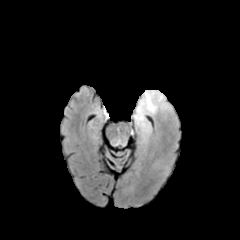
FLAIR MRI.
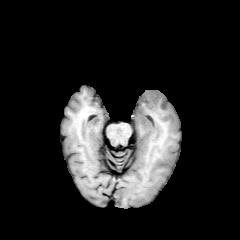
T1-weighted magnetic resonance.
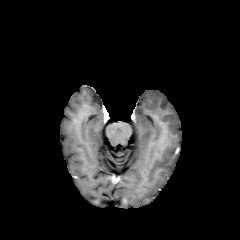
Post-contrast T1-weighted MR.
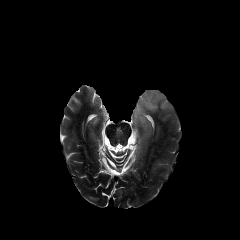
T2-weighted MR.
peritumoral edema: x1=133, y1=90, x2=172, y2=137